Brain | Axial slice | Slice 71/155
FLAIR magnetic resonance.
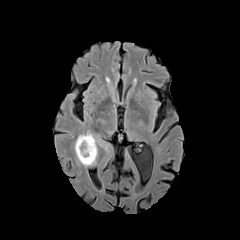
T1-weighted MR image.
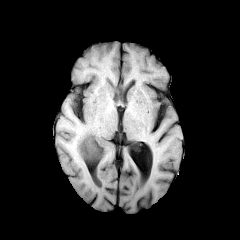
Post-contrast T1-weighted MRI.
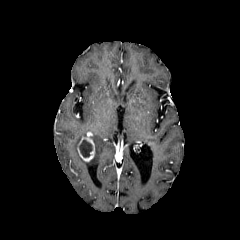
T2-weighted magnetic resonance.
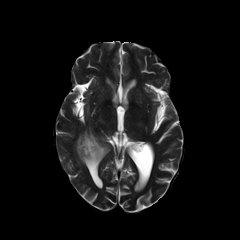
{"peritumoral_edema": ["[x1=75, y1=129, x2=113, y2=166]"], "necrotic_tumor_core": ["[x1=79, y1=139, x2=92, y2=157]"], "enhancing_tumor": ["[x1=77, y1=137, x2=94, y2=161]"]}